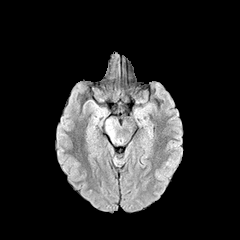
FLAIR MRI.
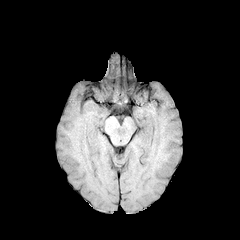
T1-weighted MR image.
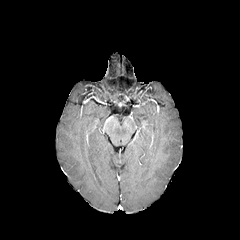
Same slice, post-contrast T1-weighted MR.
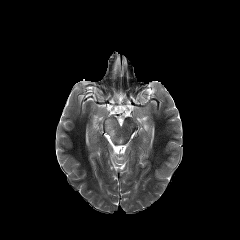
T2-weighted MR.
Brain
<segmentation>
  <peritumoral_edema>106, 120, 119, 142</peritumoral_edema>
</segmentation>